Axial plane, Brain
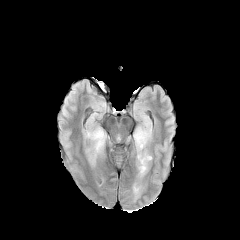
FLAIR MR image.
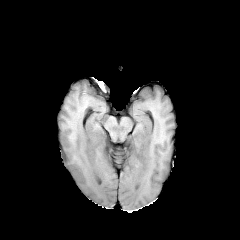
T1-weighted magnetic resonance.
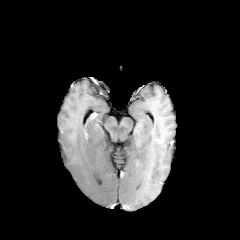
Post-contrast T1-weighted MR of the same slice.
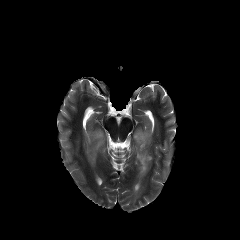
Same slice, T2-weighted MR.
2 peritumoral edema regions appear at {"x1": 86, "y1": 128, "x2": 106, "y2": 163}, {"x1": 134, "y1": 128, "x2": 151, "y2": 176}.